FLAIR MRI.
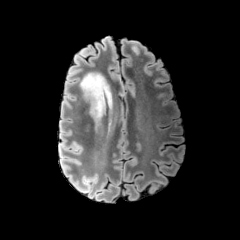
T1-weighted MR.
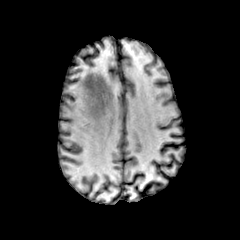
Post-contrast T1-weighted MRI.
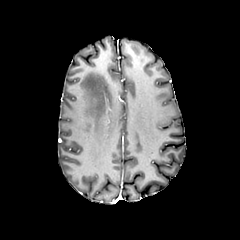
T2-weighted magnetic resonance.
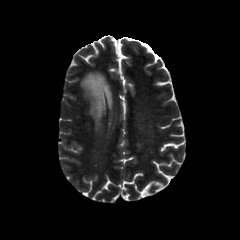
Image size 240x240, Axial slice
{"peritumoral_edema": ["80, 72, 112, 123"]}